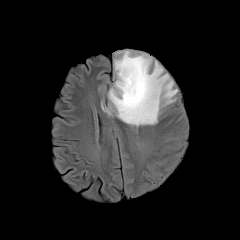
FLAIR MR image.
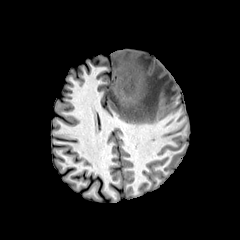
Same slice, T1-weighted magnetic resonance.
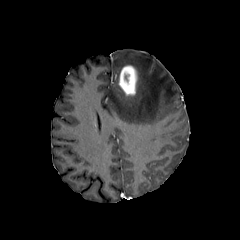
Post-contrast T1-weighted MRI.
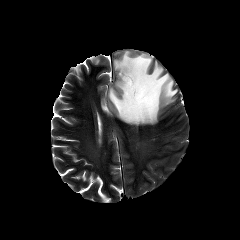
T2-weighted MR.
240x240 px; Head
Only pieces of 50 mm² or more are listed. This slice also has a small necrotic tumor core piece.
The enhancing tumor is located at left=118, top=65, right=137, bottom=95. The peritumoral edema is located at left=102, top=50, right=178, bottom=126.